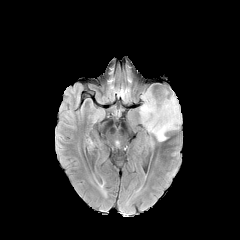
FLAIR MRI.
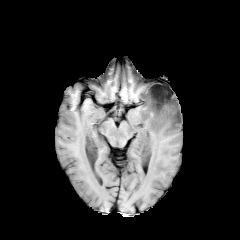
T1-weighted MR of the same slice.
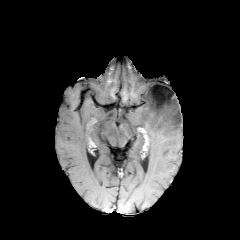
Post-contrast T1-weighted MRI of the same slice.
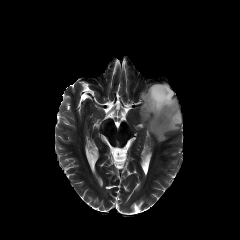
T2-weighted MR.
Image size 240x240, Brain
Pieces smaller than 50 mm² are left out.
The necrotic tumor core is located at box(147, 84, 175, 115). The largest peritumoral edema region appears at box(139, 85, 181, 141).